FLAIR MR image.
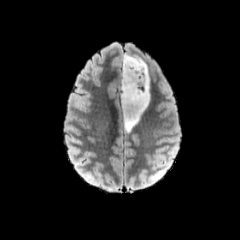
T1-weighted magnetic resonance.
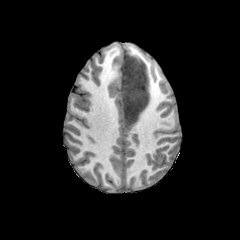
Post-contrast T1-weighted MR image.
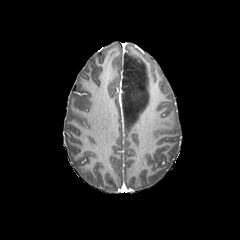
T2-weighted MRI.
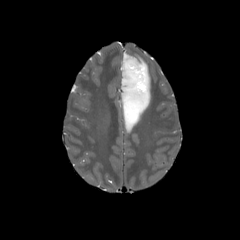
Image size 240x240 | Brain
peritumoral edema — x1=120, y1=53, x2=150, y2=131